FLAIR MR image.
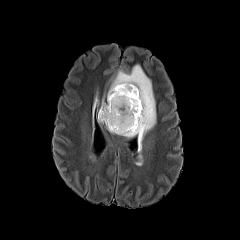
T1-weighted MR.
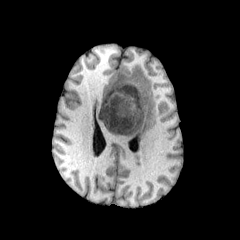
Post-contrast T1-weighted MR.
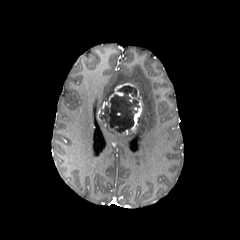
T2-weighted magnetic resonance.
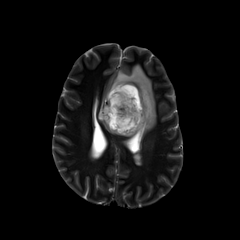
240x240.
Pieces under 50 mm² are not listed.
<segmentation>
  <necrotic_tumor_core>box=[99, 85, 139, 133]</necrotic_tumor_core>
  <peritumoral_edema>box=[107, 64, 156, 151]</peritumoral_edema>
  <enhancing_tumor>box=[109, 83, 136, 100]; box=[129, 89, 142, 132]</enhancing_tumor>
</segmentation>